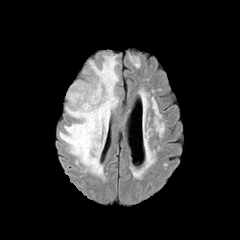
FLAIR MR image.
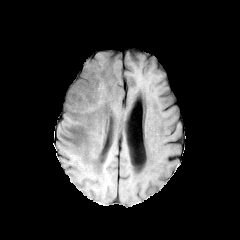
T1-weighted MRI of the same slice.
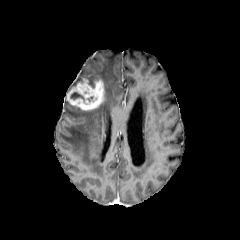
Post-contrast T1-weighted magnetic resonance of the same slice.
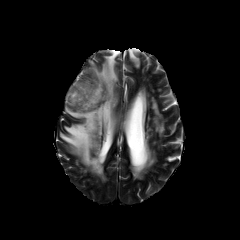
T2-weighted MRI of the same slice.
Axial slice. Head.
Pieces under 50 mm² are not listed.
<segmentation>
  <necrotic_tumor_core><bbox>71, 92, 83, 99</bbox></necrotic_tumor_core>
  <enhancing_tumor><bbox>66, 78, 104, 110</bbox></enhancing_tumor>
  <peritumoral_edema><bbox>59, 54, 118, 175</bbox></peritumoral_edema>
</segmentation>